Head
FLAIR MR image.
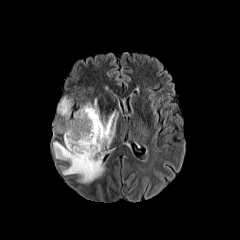
T1-weighted MR.
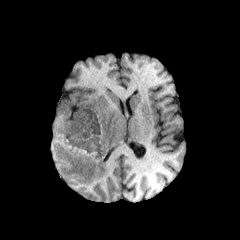
Post-contrast T1-weighted MR.
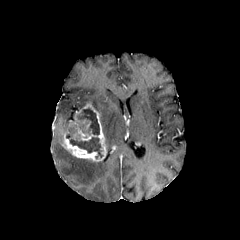
T2-weighted MR image.
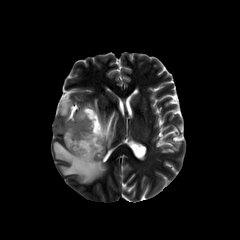
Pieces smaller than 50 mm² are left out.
Segmented structures:
• peritumoral edema: (100,110,118,148), (53,141,105,183), (93,98,99,112), (57,97,72,119)
• necrotic tumor core: (66,128,102,157), (77,108,99,135)
• enhancing tumor: (63,103,106,161)